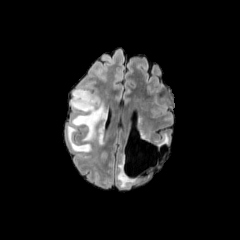
FLAIR magnetic resonance.
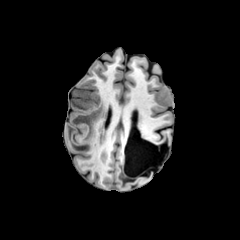
T1-weighted MR image of the same slice.
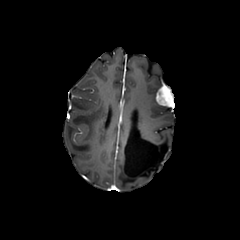
Post-contrast T1-weighted magnetic resonance.
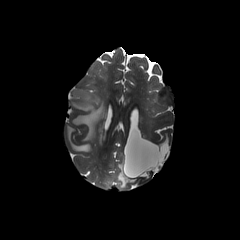
T2-weighted magnetic resonance.
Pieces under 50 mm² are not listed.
The largest peritumoral edema region lies within x1=66, y1=89, x2=106, y2=151.